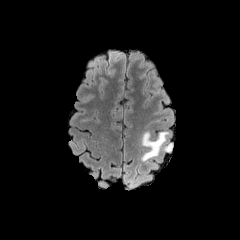
FLAIR MR image.
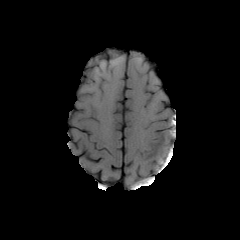
T1-weighted MR image.
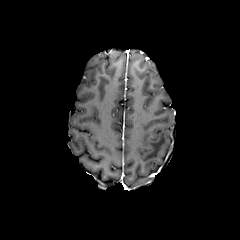
Post-contrast T1-weighted MRI.
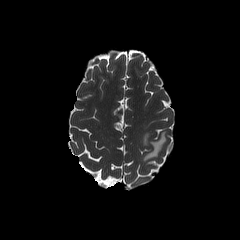
T2-weighted MR image.
Brain, Axial slice, 240x240
peritumoral_edema:
  - rect(141, 131, 172, 161)